Slice 65 of 155, Head, 240x240
FLAIR MRI.
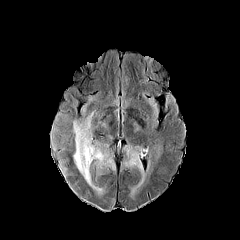
T1-weighted magnetic resonance.
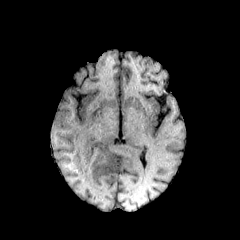
Post-contrast T1-weighted MRI.
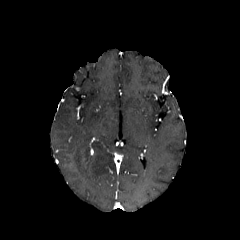
T2-weighted MR.
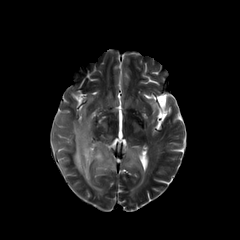
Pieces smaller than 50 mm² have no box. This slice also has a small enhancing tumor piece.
Segmented structures:
- peritumoral edema: [x1=61, y1=160, x2=67, y2=172], [x1=124, y1=146, x2=141, y2=170], [x1=53, y1=113, x2=114, y2=193], [x1=57, y1=151, x2=71, y2=156]